FLAIR MR.
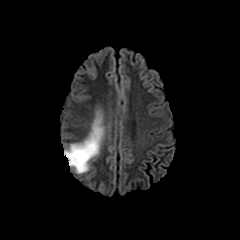
T1-weighted MRI.
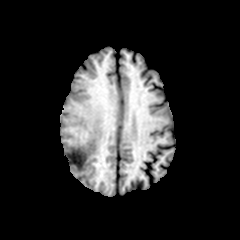
Post-contrast T1-weighted MR.
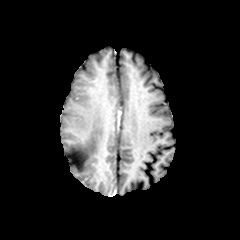
T2-weighted magnetic resonance.
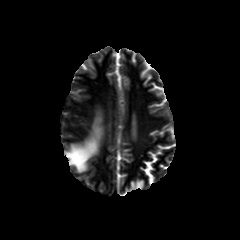
The peritumoral edema is at [64,112,103,173].